FLAIR MRI.
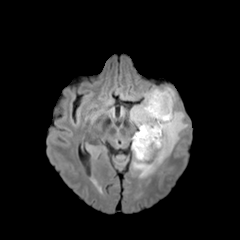
T1-weighted MR image.
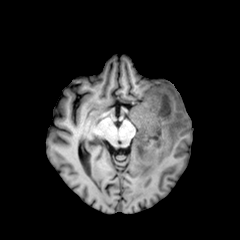
Post-contrast T1-weighted MRI.
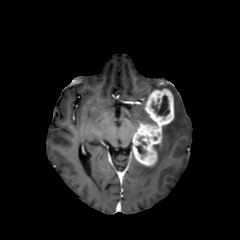
T2-weighted MRI.
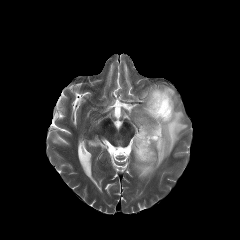
Brain | Axial slice
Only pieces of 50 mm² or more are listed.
The peritumoral edema appears at 130,87,187,177. The 2 largest necrotic tumor core regions are located at 152,95,169,115; 136,145,145,154. The enhancing tumor is at 132,88,174,166.